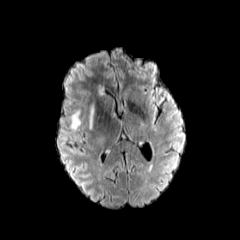
FLAIR MR.
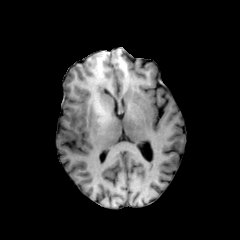
T1-weighted magnetic resonance.
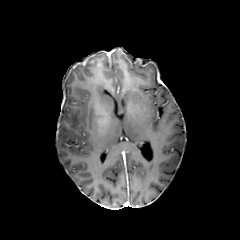
Post-contrast T1-weighted MRI.
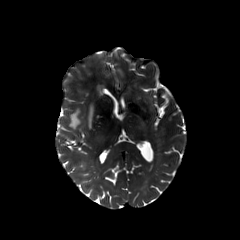
T2-weighted MR.
240x240 | Head
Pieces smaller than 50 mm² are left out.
peritumoral edema: l=96, t=86, r=104, b=96; l=89, t=104, r=94, b=129; l=71, t=110, r=80, b=129